Slice 86 of 155; Brain; Image width 240 mm, 1.00 mm slice spacing; Image size 240x240
FLAIR MR.
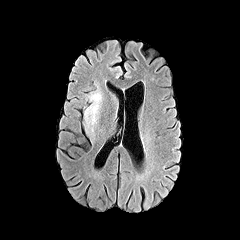
T1-weighted MRI.
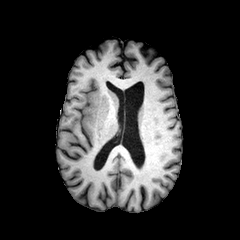
Post-contrast T1-weighted MR image.
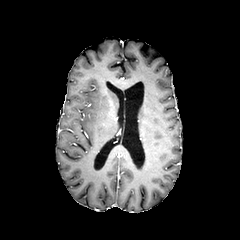
T2-weighted MRI.
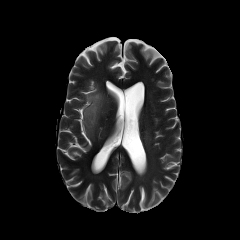
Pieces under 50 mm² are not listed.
peritumoral edema at {"x1": 85, "y1": 91, "x2": 102, "y2": 127}